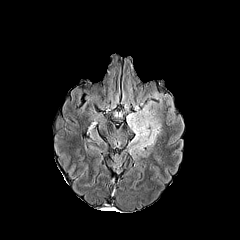
FLAIR magnetic resonance.
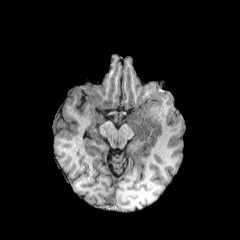
Same slice, T1-weighted magnetic resonance.
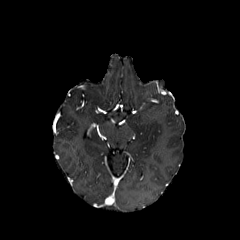
Post-contrast T1-weighted magnetic resonance.
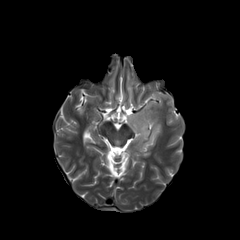
T2-weighted magnetic resonance.
Axial plane
peritumoral edema: [x1=127, y1=102, x2=161, y2=150]